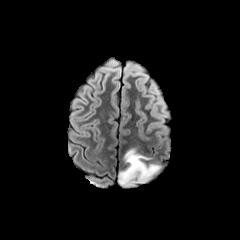
FLAIR MR image.
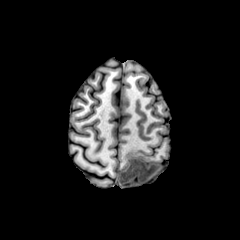
T1-weighted MR.
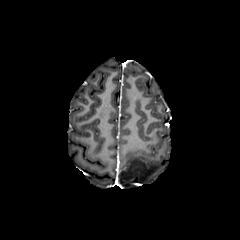
Same slice, post-contrast T1-weighted MRI.
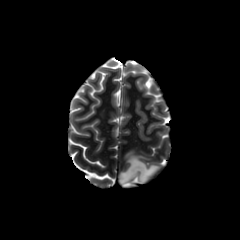
T2-weighted MRI.
{
  "peritumoral_edema": [
    "(left=119, top=149, right=160, bottom=187)"
  ]
}